Brain
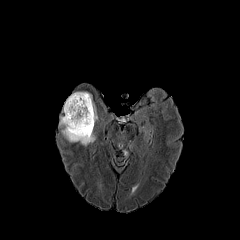
FLAIR MR.
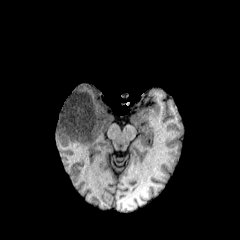
Same slice, T1-weighted MRI.
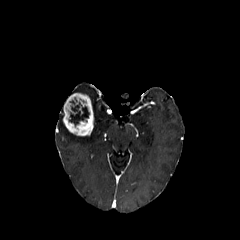
Post-contrast T1-weighted MRI of the same slice.
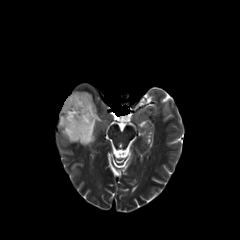
T2-weighted MRI.
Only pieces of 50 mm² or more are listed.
necrotic tumor core: 69:102:89:125 | enhancing tumor: 62:93:94:136 | peritumoral edema: 59:116:95:146, 75:91:98:122